Slice index 39 | Axial slice | Brain
FLAIR MR.
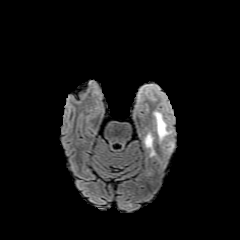
T1-weighted MR.
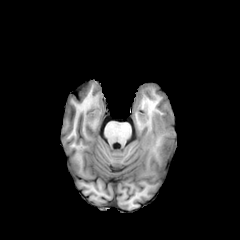
Post-contrast T1-weighted MR image.
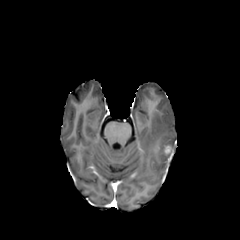
T2-weighted MR image.
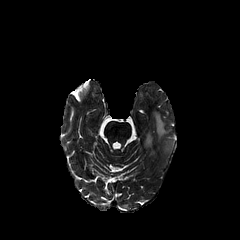
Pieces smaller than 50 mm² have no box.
enhancing_tumor:
  - left=164, top=145, right=171, bottom=153
peritumoral_edema:
  - left=154, top=111, right=171, bottom=139
  - left=145, top=133, right=153, bottom=148